FLAIR magnetic resonance.
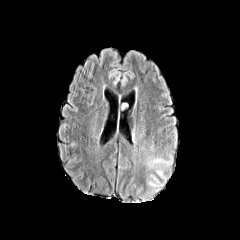
T1-weighted MR image.
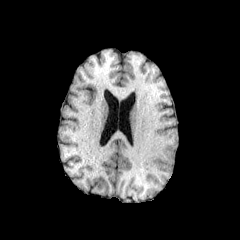
Post-contrast T1-weighted magnetic resonance.
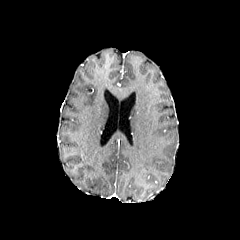
T2-weighted magnetic resonance.
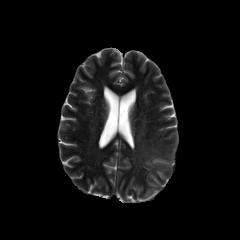
240x240.
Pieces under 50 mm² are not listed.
peritumoral edema = left=146, top=157, right=171, bottom=178